FLAIR MRI.
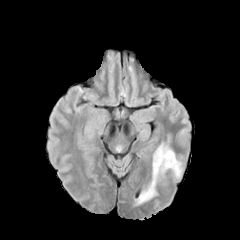
T1-weighted magnetic resonance.
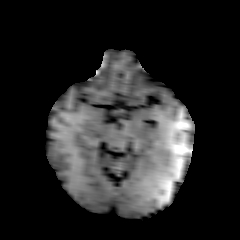
Post-contrast T1-weighted magnetic resonance.
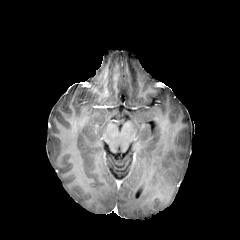
T2-weighted MR.
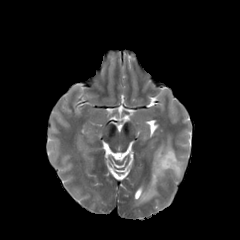
Brain; Axial plane
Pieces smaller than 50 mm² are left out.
peritumoral edema at [134, 142, 180, 206]